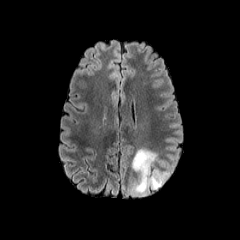
FLAIR MR image.
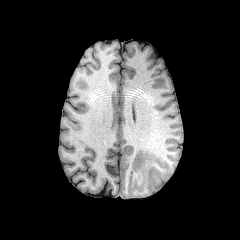
Same slice, T1-weighted MR image.
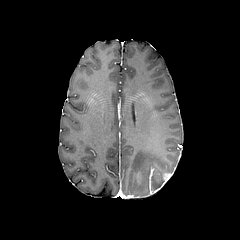
Post-contrast T1-weighted magnetic resonance of the same slice.
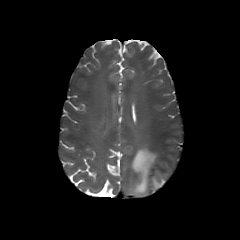
T2-weighted MR image.
Axial view; 240x240
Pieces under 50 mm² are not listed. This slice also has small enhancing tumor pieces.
The peritumoral edema lies within x1=131, y1=149, x2=171, y2=196.